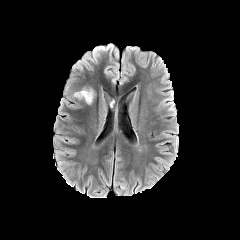
FLAIR MRI.
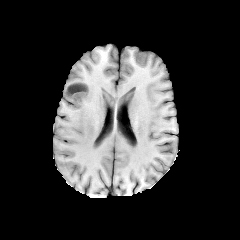
T1-weighted MR of the same slice.
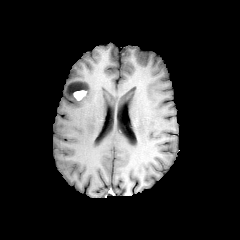
Same slice, post-contrast T1-weighted magnetic resonance.
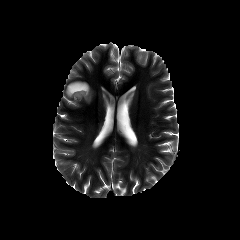
Same slice, T2-weighted MR image.
Axial slice. Head.
2 peritumoral edema regions appear at l=65, t=84, r=73, b=97; l=83, t=87, r=93, b=104. The enhancing tumor appears at l=73, t=90, r=86, b=100. The necrotic tumor core is located at l=68, t=83, r=87, b=94.